Image width 240 mm; 240x240
FLAIR magnetic resonance.
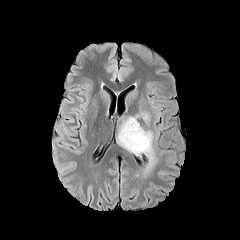
T1-weighted MRI.
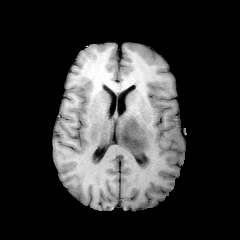
Post-contrast T1-weighted MR image.
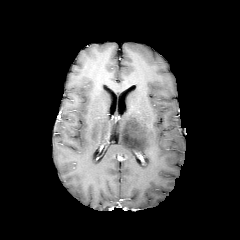
T2-weighted MR.
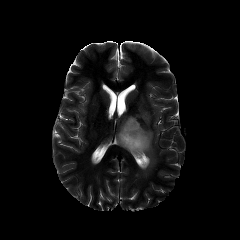
peritumoral edema — left=116, top=112, right=156, bottom=172